FLAIR magnetic resonance.
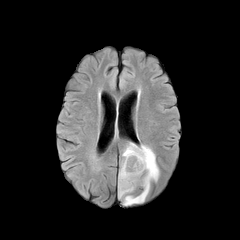
T1-weighted MRI.
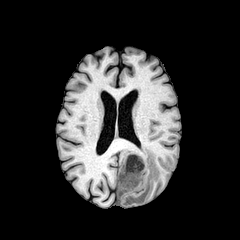
Post-contrast T1-weighted MR.
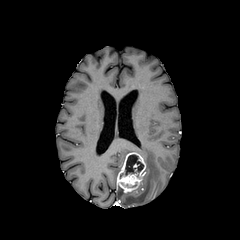
T2-weighted MR image.
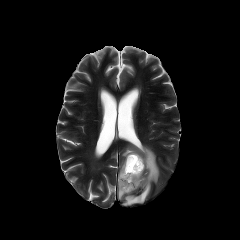
Image size 240x240. Brain. Axial plane.
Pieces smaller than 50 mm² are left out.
Annotated regions:
- necrotic tumor core: 125, 154, 143, 175
- peritumoral edema: 121, 143, 159, 205; 118, 185, 128, 198
- enhancing tumor: 117, 152, 145, 192